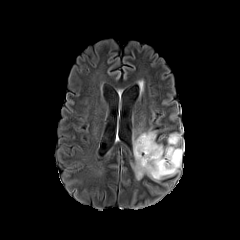
FLAIR MRI.
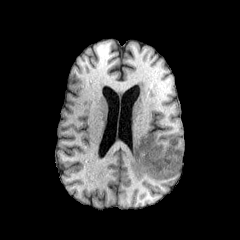
T1-weighted MRI of the same slice.
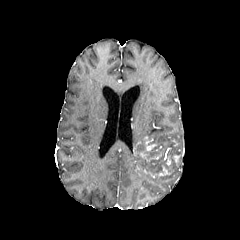
Post-contrast T1-weighted magnetic resonance.
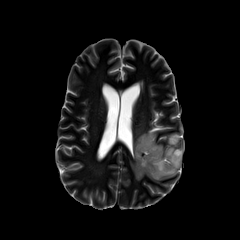
T2-weighted magnetic resonance.
Axial plane. Brain.
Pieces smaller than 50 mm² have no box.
{"peritumoral_edema": ["132, 157, 144, 180", "133, 131, 156, 147", "146, 158, 181, 182", "158, 133, 180, 153"], "enhancing_tumor": ["143, 136, 156, 151", "164, 148, 170, 165", "135, 166, 170, 177", "134, 148, 163, 161"], "necrotic_tumor_core": ["135, 139, 163, 158", "136, 149, 180, 173"]}